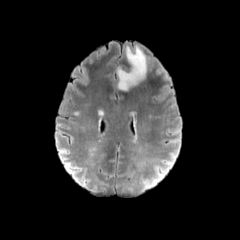
FLAIR MR image.
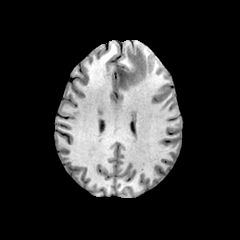
Same slice, T1-weighted MRI.
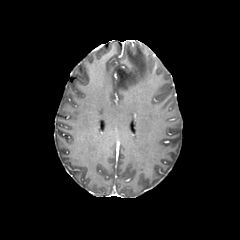
Post-contrast T1-weighted MR image.
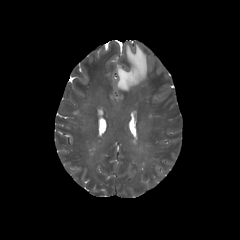
T2-weighted MR image.
Head, Image size 240x240, Axial plane
The peritumoral edema lies within (117, 45, 147, 90).